FLAIR MR.
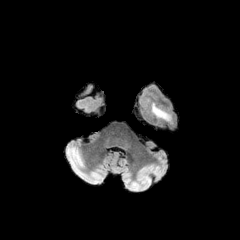
T1-weighted magnetic resonance.
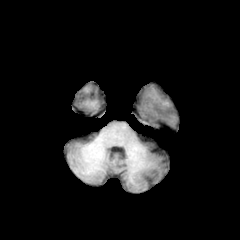
Post-contrast T1-weighted MRI.
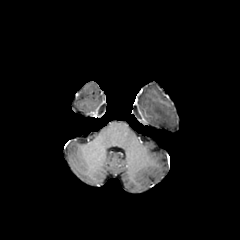
T2-weighted MR image.
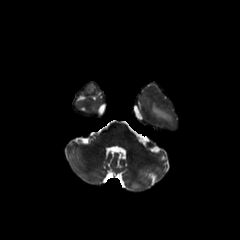
Axial view; 240x240; Head
peritumoral edema — 152 103 171 122